Slice 131 of 155
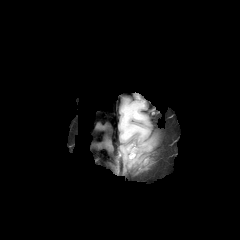
FLAIR MR.
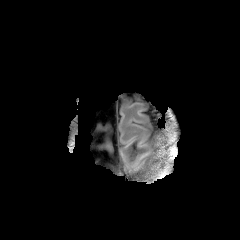
T1-weighted MRI of the same slice.
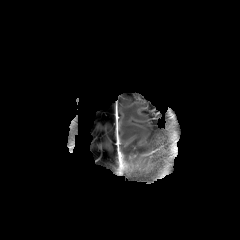
Post-contrast T1-weighted MR of the same slice.
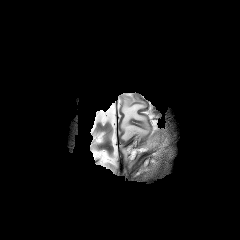
T2-weighted MR.
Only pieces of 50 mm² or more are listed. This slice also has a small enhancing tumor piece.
peritumoral edema: 121,102,147,140; 123,145,137,166